Slice 62/155 | Axial view | 240x240 | Head
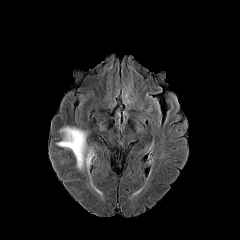
FLAIR magnetic resonance.
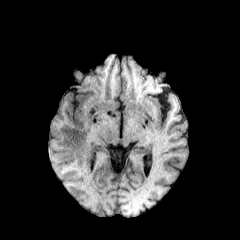
T1-weighted magnetic resonance.
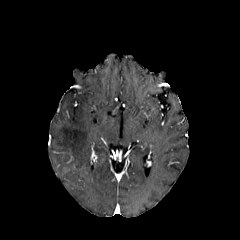
Same slice, post-contrast T1-weighted magnetic resonance.
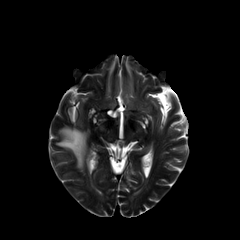
Same slice, T2-weighted MR image.
The peritumoral edema is at 56, 127, 90, 169.